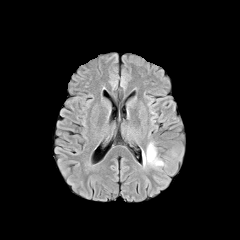
FLAIR MR image.
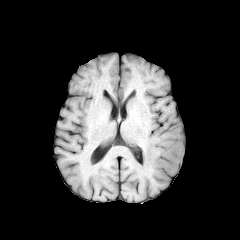
T1-weighted magnetic resonance of the same slice.
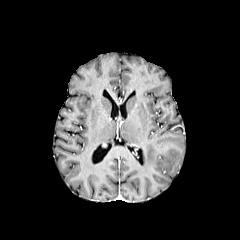
Post-contrast T1-weighted MR of the same slice.
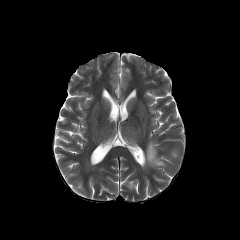
T2-weighted MR image.
Axial slice | Head
Annotated regions:
- peritumoral edema: 143 143 164 166